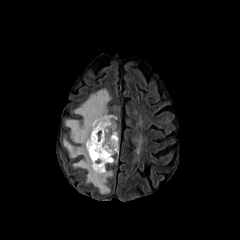
FLAIR magnetic resonance.
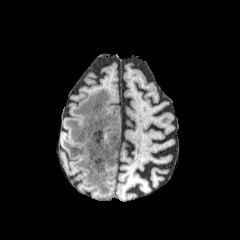
T1-weighted MRI of the same slice.
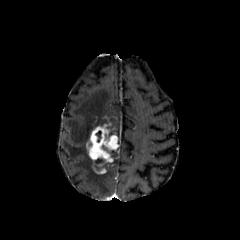
Post-contrast T1-weighted MR image.
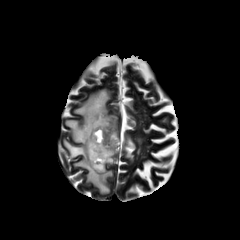
T2-weighted MRI.
Brain
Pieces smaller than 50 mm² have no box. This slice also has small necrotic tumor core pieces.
enhancing tumor: x1=86 y1=116 x2=118 y2=173
peritumoral edema: x1=63 y1=89 x2=116 y2=194